Head. Axial slice. Image covers 240 mm x 240 mm.
FLAIR magnetic resonance.
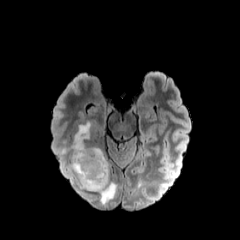
T1-weighted MR image.
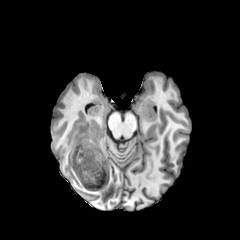
Post-contrast T1-weighted MR.
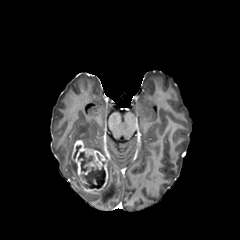
T2-weighted MR image.
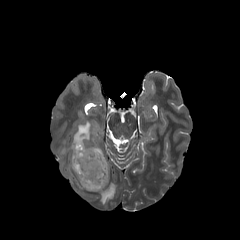
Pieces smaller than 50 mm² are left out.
The largest necrotic tumor core region is located at (x1=78, y1=151, x2=105, y2=188). The largest enhancing tumor region appears at (x1=72, y1=140, x2=108, y2=191). The 2 largest peritumoral edema regions are located at (x1=98, y1=177, x2=116, y2=203), (x1=57, y1=121, x2=103, y2=180).